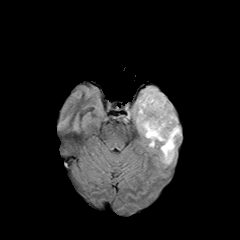
FLAIR magnetic resonance.
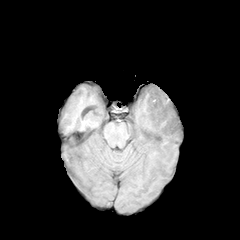
T1-weighted MRI.
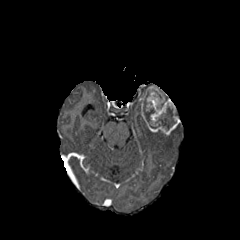
Same slice, post-contrast T1-weighted MR image.
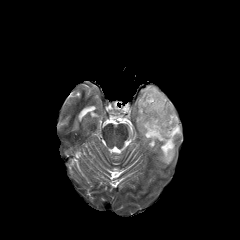
T2-weighted MRI.
Axial view; Brain
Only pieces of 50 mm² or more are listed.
necrotic tumor core at bbox(150, 107, 175, 130); bbox(143, 100, 154, 122)
peritumoral edema at bbox(133, 98, 181, 164)
enhancing tumor at bbox(139, 85, 179, 135)